FLAIR MR image.
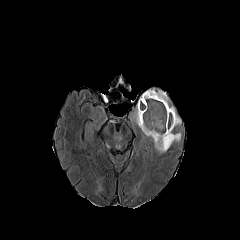
T1-weighted magnetic resonance.
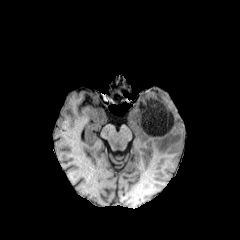
Post-contrast T1-weighted MR.
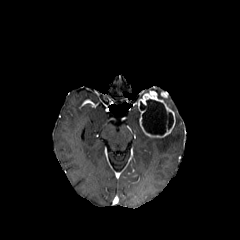
T2-weighted MR image.
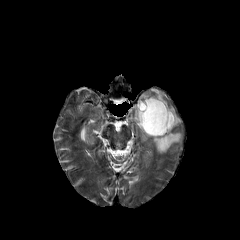
Head
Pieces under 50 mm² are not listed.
The largest enhancing tumor region appears at box=[138, 90, 175, 137]. The largest necrotic tumor core region appears at box=[140, 99, 173, 135]. The 3 largest peritumoral edema regions are located at box=[170, 106, 181, 125]; box=[131, 108, 140, 126]; box=[152, 132, 181, 154].